FLAIR MR.
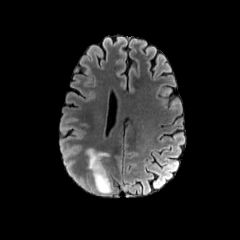
T1-weighted MR image.
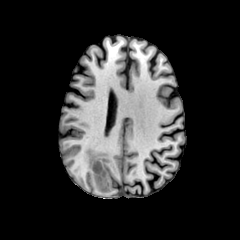
Post-contrast T1-weighted MR image.
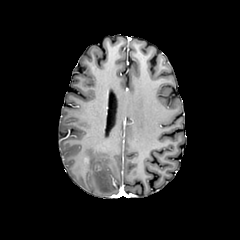
T2-weighted MRI.
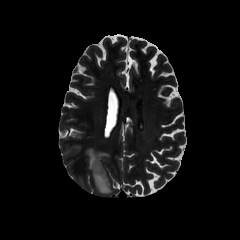
Brain
peritumoral edema — [87, 148, 111, 193]